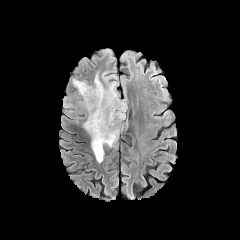
FLAIR MR.
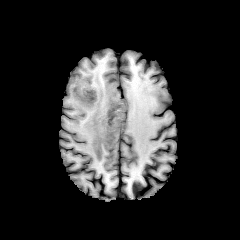
Same slice, T1-weighted MR.
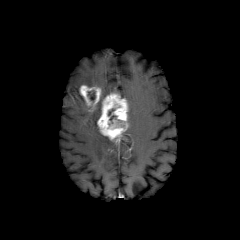
Post-contrast T1-weighted magnetic resonance.
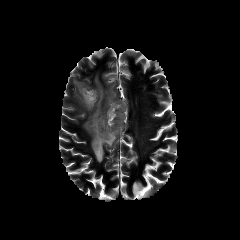
T2-weighted magnetic resonance.
Head.
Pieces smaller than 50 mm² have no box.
{
  "necrotic_tumor_core": [
    "107, 104, 124, 128"
  ],
  "enhancing_tumor": [
    "79, 85, 101, 111",
    "97, 91, 128, 143"
  ],
  "peritumoral_edema": [
    "84, 75, 115, 162",
    "73, 79, 86, 90"
  ]
}